FLAIR MR.
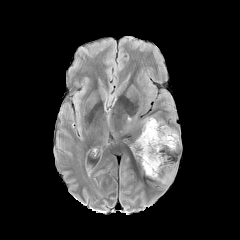
T1-weighted magnetic resonance.
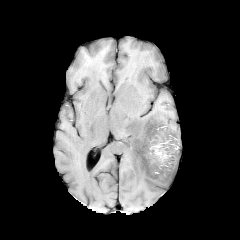
Post-contrast T1-weighted MR image.
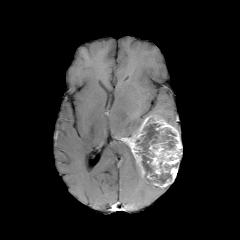
T2-weighted MR.
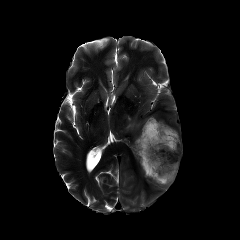
Axial slice. Image size 240x240.
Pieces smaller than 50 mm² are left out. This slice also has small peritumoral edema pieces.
Annotated regions:
• necrotic tumor core: {"x1": 137, "y1": 123, "x2": 175, "y2": 183}
• enhancing tumor: {"x1": 128, "y1": 116, "x2": 181, "y2": 187}